240x240 px, Axial view
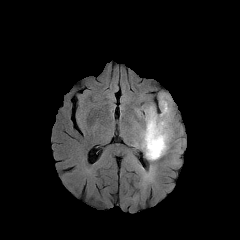
FLAIR MRI.
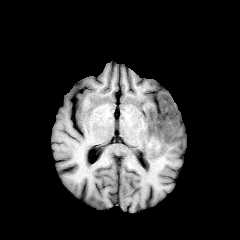
Same slice, T1-weighted magnetic resonance.
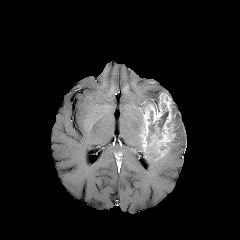
Post-contrast T1-weighted MRI.
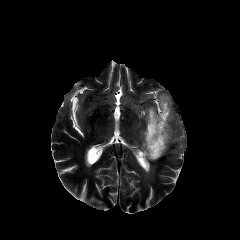
T2-weighted magnetic resonance.
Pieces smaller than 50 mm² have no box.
<segmentation>
  <enhancing_tumor><box>140,93,174,158</box></enhancing_tumor>
  <peritumoral_edema><box>133,123,162,178</box>, <box>173,101,177,132</box>, <box>136,103,159,118</box></peritumoral_edema>
  <necrotic_tumor_core><box>147,124,155,143</box>, <box>158,111,168,131</box>, <box>148,144,159,156</box></necrotic_tumor_core>
</segmentation>